Head, Slice 90 of 155, Axial view
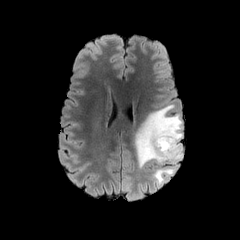
FLAIR magnetic resonance.
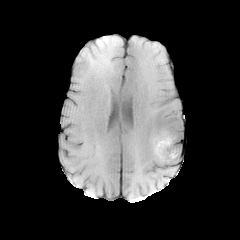
Same slice, T1-weighted magnetic resonance.
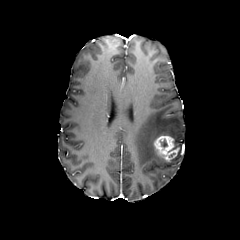
Post-contrast T1-weighted magnetic resonance.
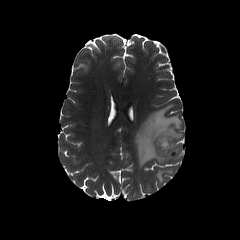
T2-weighted MRI.
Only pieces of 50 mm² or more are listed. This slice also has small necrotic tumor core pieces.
enhancing tumor: box(153, 135, 179, 160)
peritumoral edema: box(134, 104, 183, 185)